Image width 240 mm; Axial plane; Brain; Slice 85/155
FLAIR MRI.
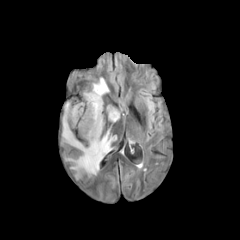
T1-weighted MR image.
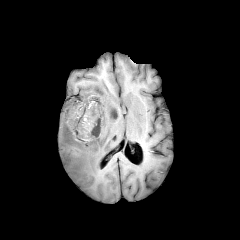
Post-contrast T1-weighted MR.
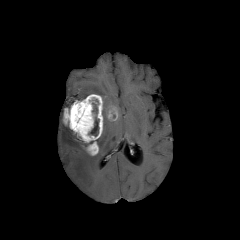
T2-weighted MR image.
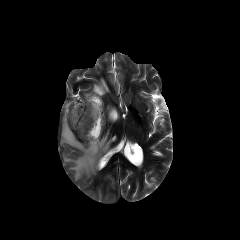
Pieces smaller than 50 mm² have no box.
The largest necrotic tumor core region is at rect(89, 117, 98, 134). 2 enhancing tumor regions are bounded by rect(63, 94, 103, 155); rect(107, 106, 118, 120). The 2 largest peritumoral edema regions are bounded by rect(61, 119, 114, 179); rect(83, 78, 109, 98).